Axial plane. Head.
FLAIR MRI.
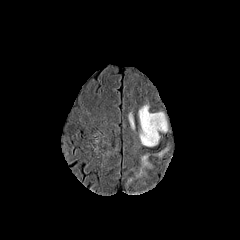
T1-weighted MRI.
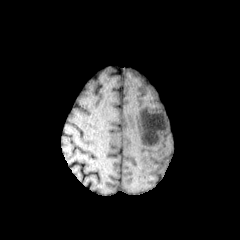
Post-contrast T1-weighted MRI.
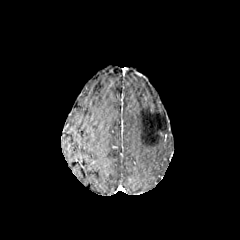
T2-weighted MRI.
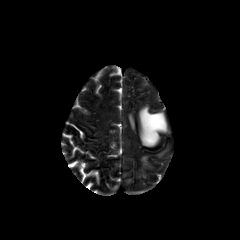
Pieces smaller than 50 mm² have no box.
peritumoral edema — left=129, top=114, right=134, bottom=129; left=128, top=153, right=151, bottom=182; left=139, top=105, right=167, bottom=146